Image width 240 mm, 1.00 mm slice spacing, Slice index 74, 240x240, Brain, Axial slice
FLAIR MR image.
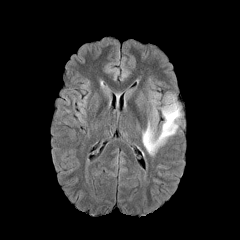
T1-weighted MR.
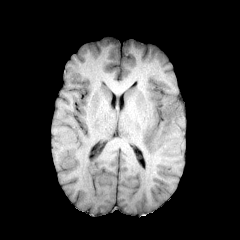
Post-contrast T1-weighted MRI.
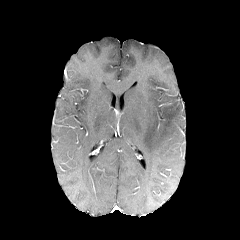
T2-weighted MR image.
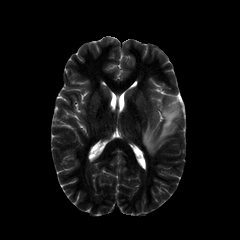
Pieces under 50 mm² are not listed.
The largest peritumoral edema region is located at [142,95,181,155].